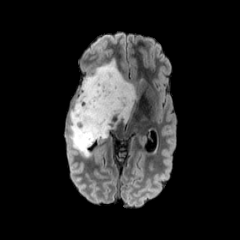
FLAIR MRI.
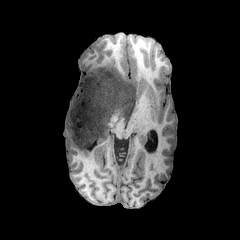
T1-weighted MR.
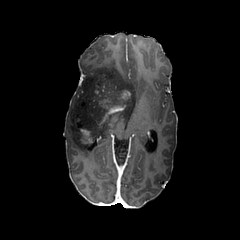
Post-contrast T1-weighted magnetic resonance.
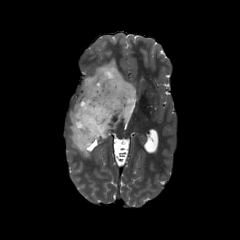
T2-weighted MR image.
Brain.
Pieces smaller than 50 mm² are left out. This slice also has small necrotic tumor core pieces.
The 3 largest enhancing tumor regions are located at 103,105,125,121; 121,90,130,99; 73,111,93,143. The peritumoral edema lies within 68,59,136,157.